Image width 240 mm. 240x240 px. Axial slice. Brain.
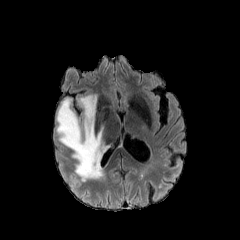
FLAIR MR image.
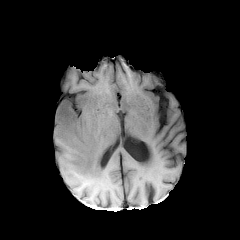
Same slice, T1-weighted MR image.
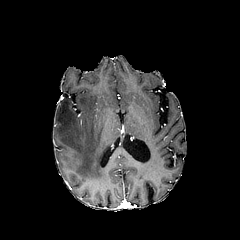
Post-contrast T1-weighted MR image of the same slice.
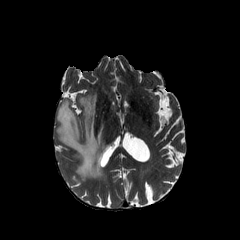
T2-weighted MR.
peritumoral edema: <bbox>56, 94, 109, 181</bbox>